FLAIR MR image.
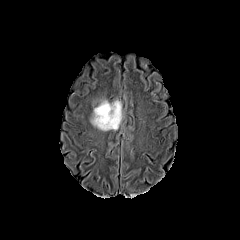
T1-weighted MRI.
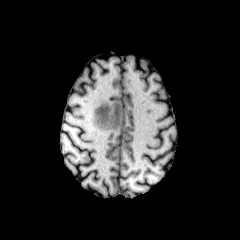
Post-contrast T1-weighted magnetic resonance.
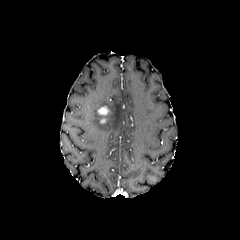
T2-weighted MR image.
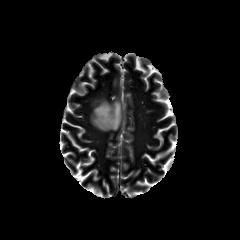
Axial plane; 240x240; Brain
<segmentation>
  <peritumoral_edema>bbox(91, 99, 123, 131)</peritumoral_edema>
  <enhancing_tumor>bbox(97, 106, 109, 123)</enhancing_tumor>
</segmentation>